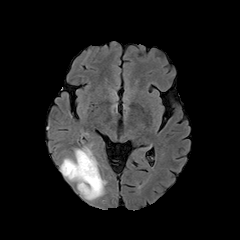
FLAIR MR.
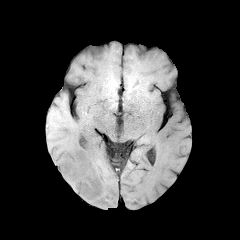
T1-weighted MRI of the same slice.
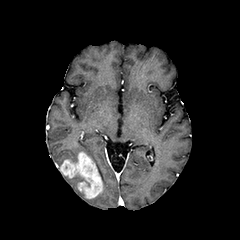
Post-contrast T1-weighted MR image.
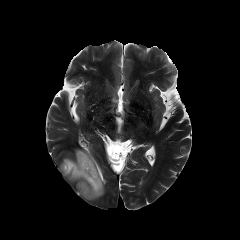
T2-weighted MR image.
Image size 240x240; Head; Axial view
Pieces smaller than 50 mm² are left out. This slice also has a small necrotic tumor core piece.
Findings:
- enhancing tumor: (left=60, top=152, right=102, bottom=198)
- peritumoral edema: (left=64, top=175, right=84, bottom=188), (left=63, top=146, right=106, bottom=200)